Axial view, Slice index 98, Image width 240 mm, Head
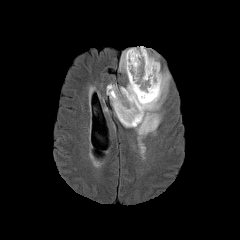
FLAIR MRI.
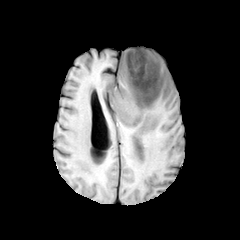
T1-weighted MR image.
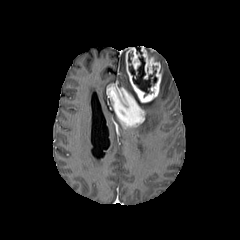
Same slice, post-contrast T1-weighted MR image.
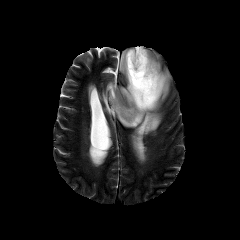
Same slice, T2-weighted MR.
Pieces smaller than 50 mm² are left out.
enhancing tumor — (106,46,161,126)
necrotic tumor core — (129,47,157,96)
peritumoral edema — (119,50,131,91), (126,70,170,144)